Image width 240 mm, 1.00 mm slice spacing. Head. Axial slice.
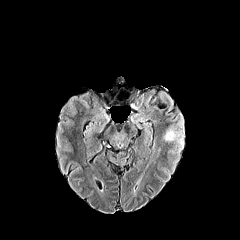
FLAIR MR.
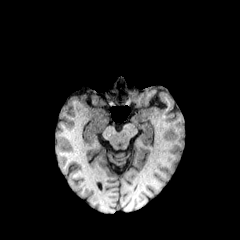
T1-weighted MR.
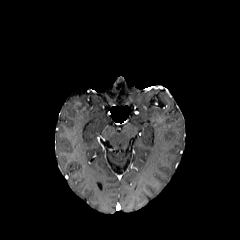
Post-contrast T1-weighted MR image of the same slice.
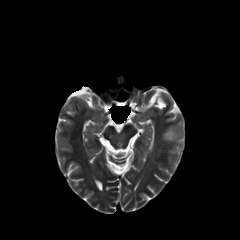
T2-weighted MR of the same slice.
Segmented structures:
* peritumoral edema: (x1=163, y1=119, x2=184, y2=150)